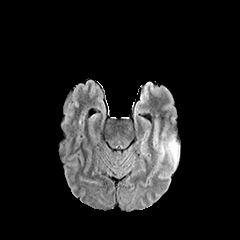
FLAIR MR.
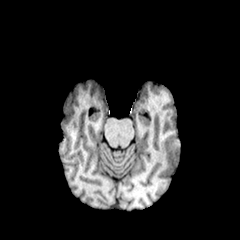
T1-weighted MR image.
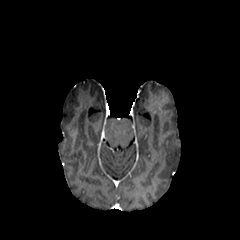
Same slice, post-contrast T1-weighted MRI.
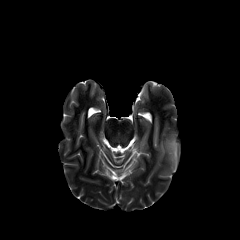
T2-weighted MRI.
Axial view
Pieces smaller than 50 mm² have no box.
peritumoral edema at 158, 134, 179, 169